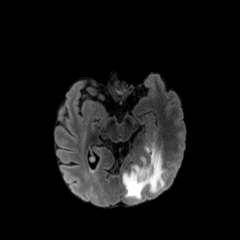
FLAIR magnetic resonance.
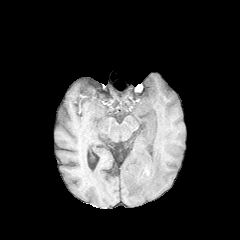
Same slice, T1-weighted MR.
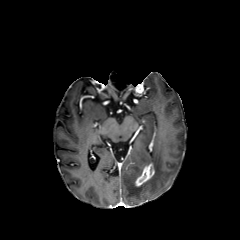
Post-contrast T1-weighted MR.
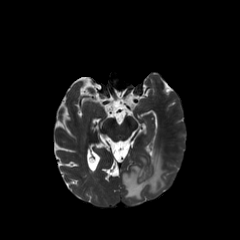
T2-weighted MR image.
Brain
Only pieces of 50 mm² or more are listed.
Annotated regions:
* peritumoral edema: [123,145,165,199]
* enhancing tumor: [135,163,154,186]